Slice 120 of 155. Brain. Image size 240x240. Axial slice.
FLAIR MR.
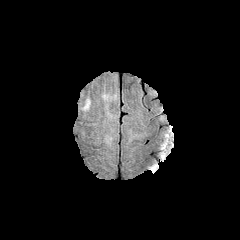
T1-weighted MRI.
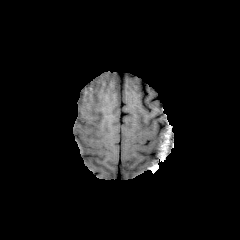
Post-contrast T1-weighted MRI.
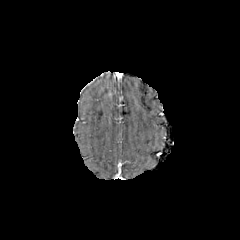
T2-weighted MR image.
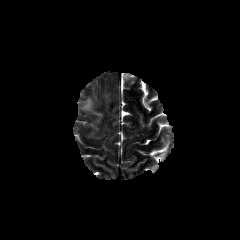
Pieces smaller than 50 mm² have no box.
Segmented structures:
- peritumoral edema: [x1=82, y1=98, x2=90, y2=110]